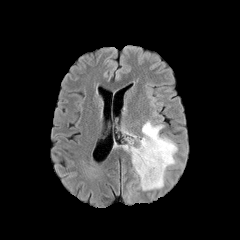
FLAIR MRI.
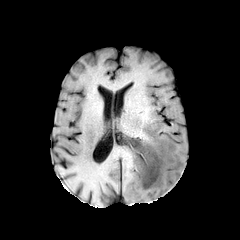
T1-weighted MRI.
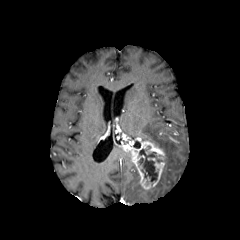
Post-contrast T1-weighted MRI.
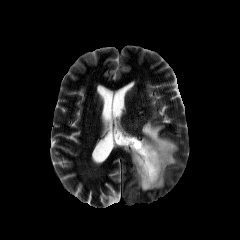
T2-weighted MR image of the same slice.
Head. Axial slice.
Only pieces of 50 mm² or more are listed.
<segmentation>
  <enhancing_tumor>122,137,165,189</enhancing_tumor>
  <peritumoral_edema>142,120,177,189; 133,164,147,190</peritumoral_edema>
  <necrotic_tumor_core>139,149,157,182</necrotic_tumor_core>
</segmentation>